Slice 77/155, Axial plane
FLAIR MR image.
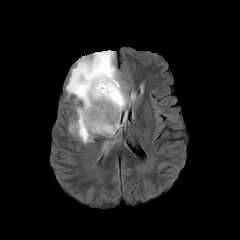
T1-weighted magnetic resonance.
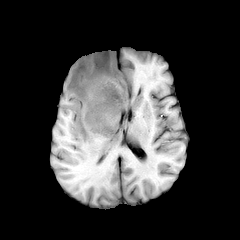
Post-contrast T1-weighted MRI.
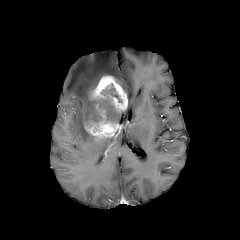
T2-weighted MRI.
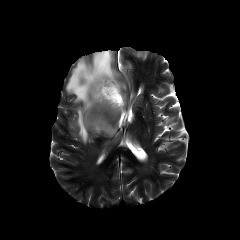
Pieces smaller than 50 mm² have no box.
{"peritumoral_edema": ["(left=66, top=50, right=126, bottom=143)"], "enhancing_tumor": ["(left=84, top=75, right=127, bottom=137)"], "necrotic_tumor_core": ["(left=101, top=83, right=121, bottom=102)", "(left=99, top=98, right=119, bottom=121)"]}